Axial slice; 240x240 px
FLAIR magnetic resonance.
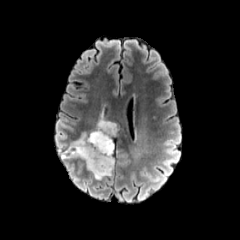
T1-weighted MRI.
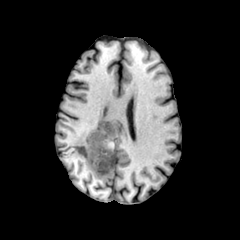
Post-contrast T1-weighted magnetic resonance.
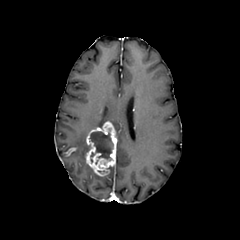
T2-weighted MRI.
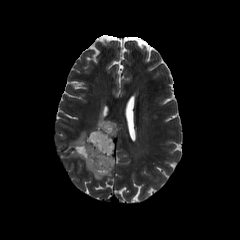
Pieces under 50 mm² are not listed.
peritumoral edema = rect(86, 164, 104, 179); rect(94, 120, 107, 128); rect(63, 132, 90, 162)
enhancing tumor = rect(84, 121, 115, 176)
necrotic tumor core = rect(90, 131, 113, 158)